FLAIR magnetic resonance.
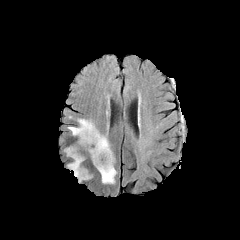
T1-weighted magnetic resonance.
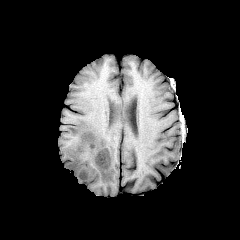
Post-contrast T1-weighted MR.
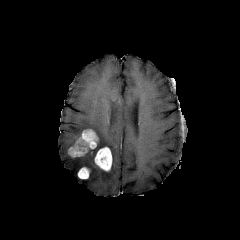
T2-weighted MR.
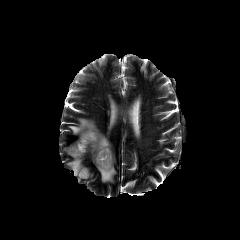
Axial slice, Brain
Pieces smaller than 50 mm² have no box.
{
  "peritumoral_edema": [
    "67:156:83:182",
    "68:118:116:183"
  ],
  "enhancing_tumor": [
    "68:129:98:157",
    "77:167:89:179",
    "94:147:112:171"
  ]
}